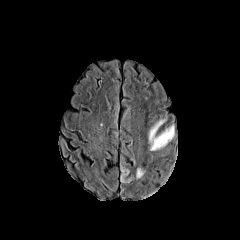
FLAIR magnetic resonance.
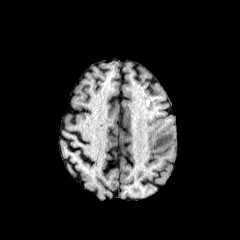
T1-weighted MR of the same slice.
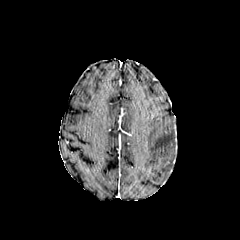
Same slice, post-contrast T1-weighted MRI.
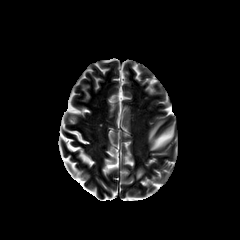
T2-weighted MR image.
Brain
3 peritumoral edema regions are located at 148 119 174 150, 136 168 144 179, 120 166 133 182.